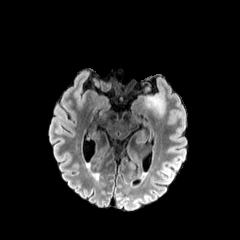
FLAIR magnetic resonance.
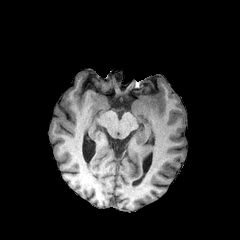
T1-weighted MR.
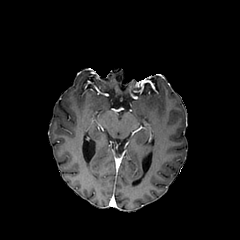
Same slice, post-contrast T1-weighted magnetic resonance.
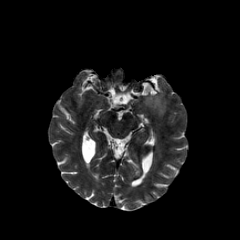
T2-weighted MRI of the same slice.
240x240; Brain
peritumoral edema: bounding box rect(144, 94, 164, 116)